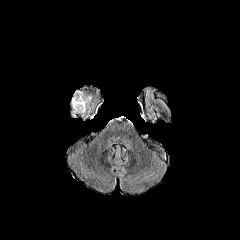
FLAIR MR image.
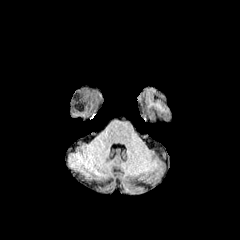
T1-weighted MR of the same slice.
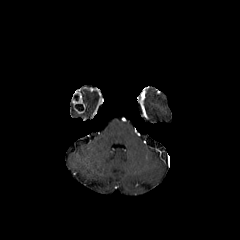
Post-contrast T1-weighted magnetic resonance of the same slice.
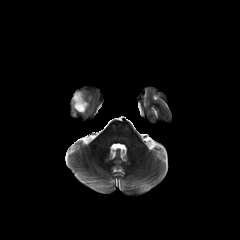
T2-weighted MRI.
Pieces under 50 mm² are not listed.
necrotic tumor core: l=75, t=104, r=83, b=111 | enhancing tumor: l=72, t=91, r=85, b=113 | peritumoral edema: l=82, t=93, r=91, b=115